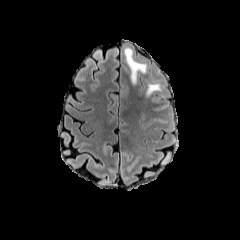
FLAIR MRI.
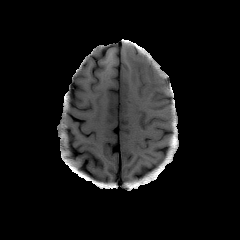
T1-weighted MR.
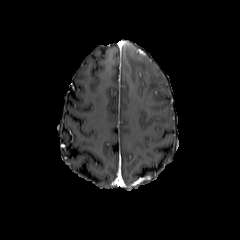
Same slice, post-contrast T1-weighted MR image.
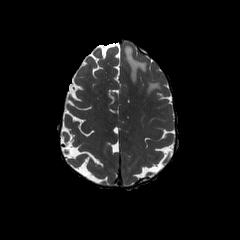
T2-weighted MRI.
Brain
2 peritumoral edema regions are bounded by box(146, 82, 160, 96); box(124, 47, 146, 84).